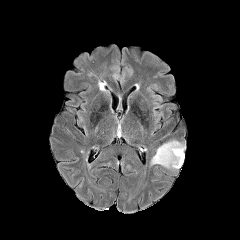
FLAIR MR.
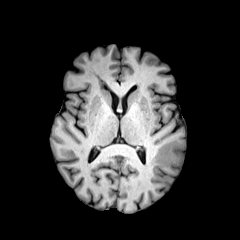
Same slice, T1-weighted MR image.
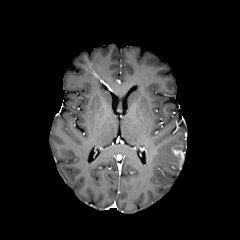
Post-contrast T1-weighted MR image.
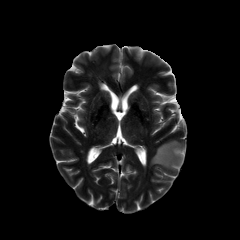
T2-weighted MR of the same slice.
Brain.
{
  "peritumoral_edema": [
    "box=[150, 140, 185, 169]"
  ],
  "enhancing_tumor": [
    "box=[172, 148, 184, 168]"
  ]
}